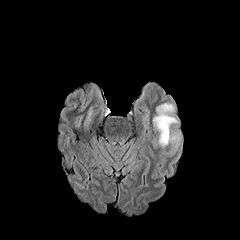
FLAIR MR.
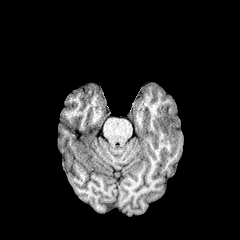
T1-weighted MRI.
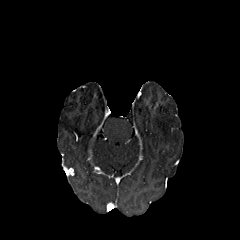
Post-contrast T1-weighted MR image.
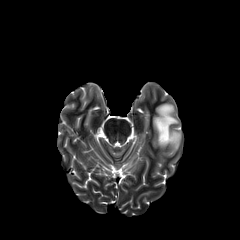
Same slice, T2-weighted MRI.
Head; Axial slice
peritumoral edema at (x1=153, y1=103, x2=180, y2=148)